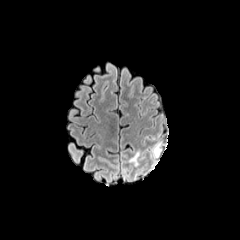
FLAIR MR.
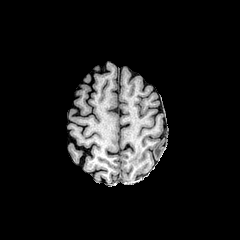
T1-weighted MRI.
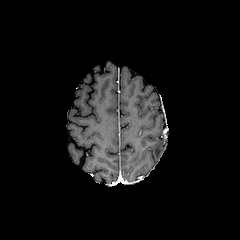
Post-contrast T1-weighted MR image of the same slice.
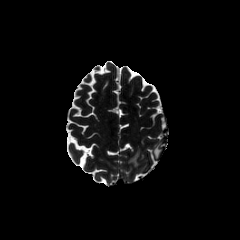
Same slice, T2-weighted magnetic resonance.
240x240 px, Brain, Axial slice
peritumoral_edema:
  - box=[153, 144, 161, 157]
  - box=[129, 151, 139, 164]